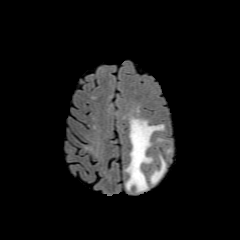
FLAIR magnetic resonance.
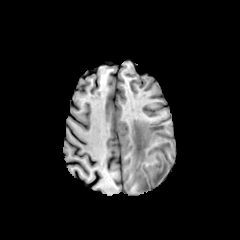
T1-weighted MRI.
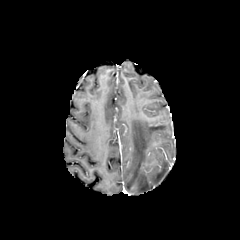
Post-contrast T1-weighted MRI.
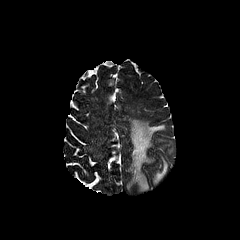
T2-weighted MR image.
Head
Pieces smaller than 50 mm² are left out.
Segmented structures:
- peritumoral edema: left=151, top=157, right=166, bottom=183; left=126, top=118, right=164, bottom=190